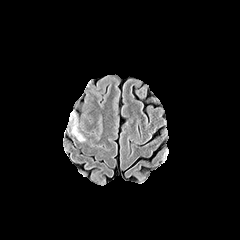
FLAIR magnetic resonance.
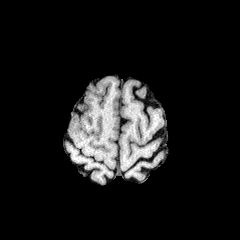
Same slice, T1-weighted MR.
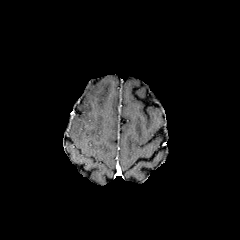
Post-contrast T1-weighted MRI.
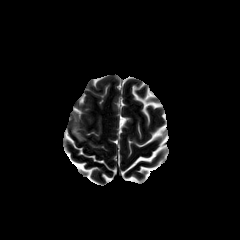
Same slice, T2-weighted MRI.
peritumoral_edema:
  - rect(72, 118, 84, 141)